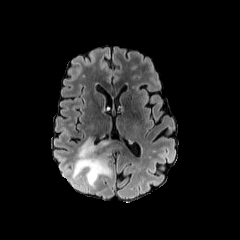
FLAIR MR image.
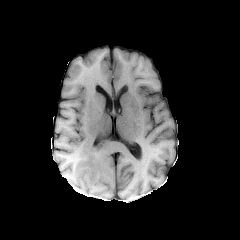
T1-weighted magnetic resonance.
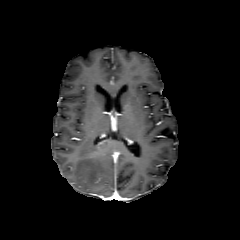
Post-contrast T1-weighted MR image of the same slice.
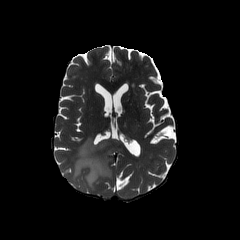
Same slice, T2-weighted magnetic resonance.
Axial plane
peritumoral edema = x1=73 y1=137 x2=113 y2=186